Brain.
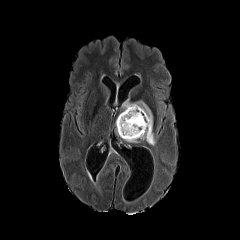
FLAIR magnetic resonance.
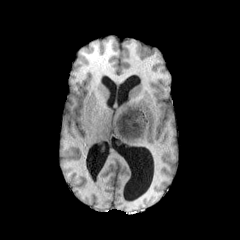
T1-weighted magnetic resonance of the same slice.
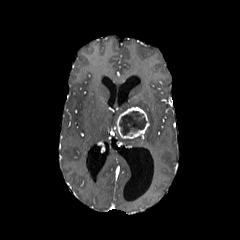
Post-contrast T1-weighted magnetic resonance of the same slice.
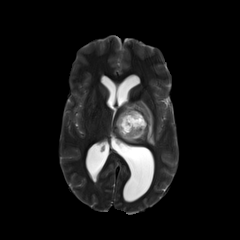
T2-weighted MR image of the same slice.
- enhancing tumor: 116:107:149:138
- peritumoral edema: 122:101:155:145
- necrotic tumor core: 119:111:146:135